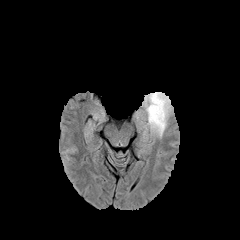
FLAIR MR image.
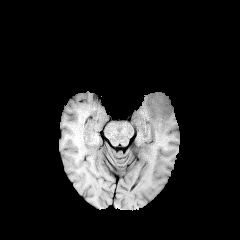
T1-weighted MR.
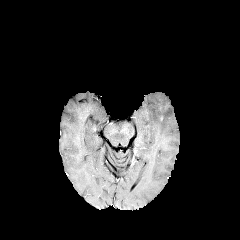
Post-contrast T1-weighted magnetic resonance.
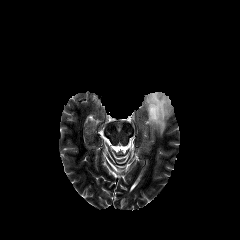
T2-weighted MRI.
Head; Axial view
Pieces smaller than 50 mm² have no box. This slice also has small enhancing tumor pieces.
{"peritumoral_edema": ["142,92,173,137"]}